Axial view | Image width 240 mm, 1.00 mm slice spacing
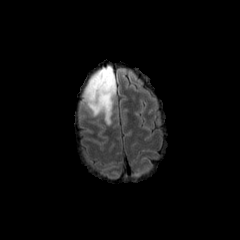
FLAIR MR image.
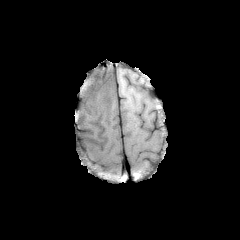
T1-weighted magnetic resonance.
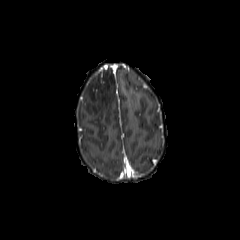
Post-contrast T1-weighted MR of the same slice.
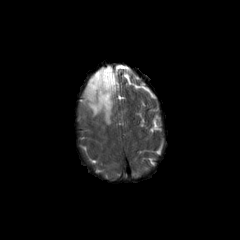
Same slice, T2-weighted MR.
The peritumoral edema lies within bbox(82, 66, 116, 124).